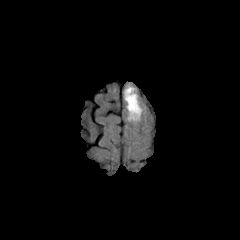
FLAIR MRI.
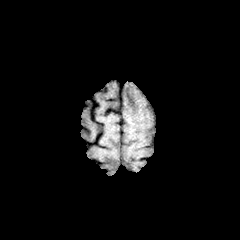
T1-weighted MR of the same slice.
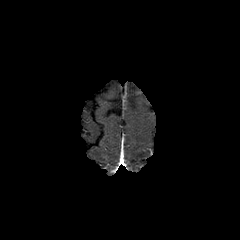
Post-contrast T1-weighted magnetic resonance of the same slice.
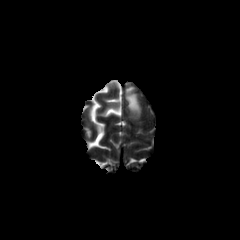
T2-weighted magnetic resonance.
Axial slice
<segmentation>
  <peritumoral_edema>x1=125, y1=87, x2=141, y2=119</peritumoral_edema>
</segmentation>